FLAIR MR image.
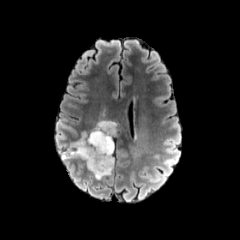
T1-weighted MR image.
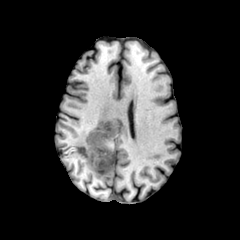
Post-contrast T1-weighted MR image.
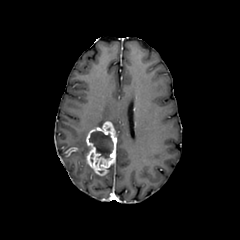
T2-weighted MR.
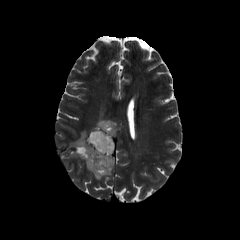
Brain; Axial view
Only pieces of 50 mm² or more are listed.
peritumoral edema at (64,132,88,161), (94,120,116,134), (86,163,102,179)
enhancing tumor at (85,121,116,176)
necrotic tumor core at (89,131,113,158)